FLAIR magnetic resonance.
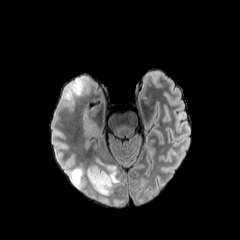
T1-weighted magnetic resonance.
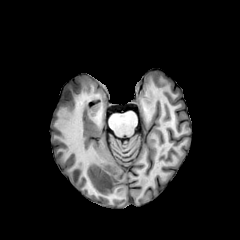
Post-contrast T1-weighted magnetic resonance.
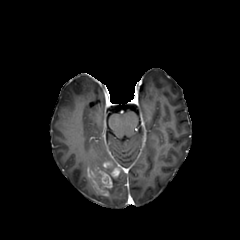
T2-weighted MR image.
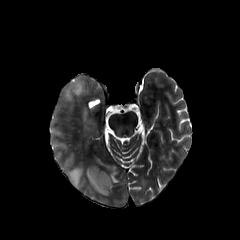
Brain
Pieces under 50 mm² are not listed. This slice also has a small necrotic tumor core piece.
Findings:
* peritumoral edema: (69,168,84,188), (88,178,108,199), (109,177,119,195), (62,76,87,104)
* enhancing tumor: (87,167,119,195)